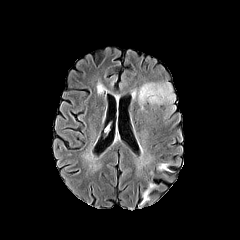
FLAIR MRI.
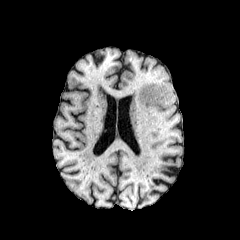
T1-weighted MR.
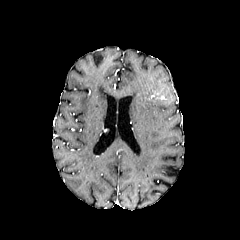
Post-contrast T1-weighted magnetic resonance.
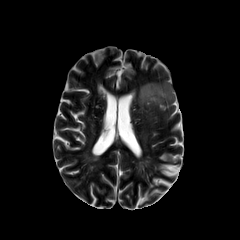
Same slice, T2-weighted MRI.
Brain
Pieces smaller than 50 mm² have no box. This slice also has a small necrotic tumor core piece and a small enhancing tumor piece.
peritumoral edema = rect(138, 82, 174, 109); rect(164, 105, 174, 118)